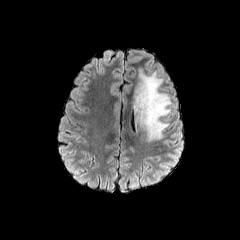
FLAIR MR.
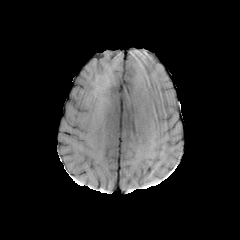
T1-weighted magnetic resonance of the same slice.
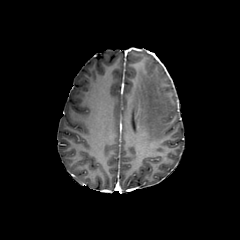
Same slice, post-contrast T1-weighted MRI.
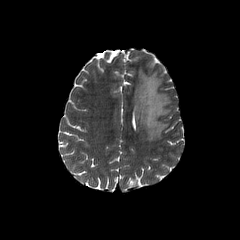
Same slice, T2-weighted MR.
Brain | Axial view
peritumoral edema — bbox=[134, 69, 170, 141]